FLAIR MR.
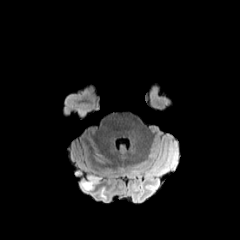
T1-weighted MRI.
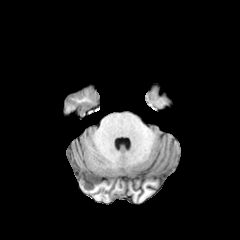
Post-contrast T1-weighted MRI.
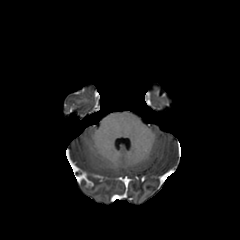
T2-weighted MR image.
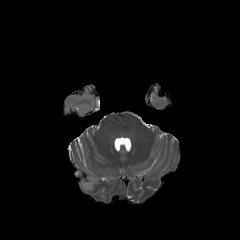
Head
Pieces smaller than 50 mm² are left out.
The largest enhancing tumor region is bounded by bbox=[85, 178, 93, 187]. The largest peritumoral edema region is bounded by bbox=[80, 172, 100, 191].